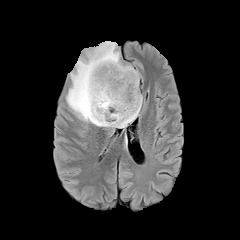
FLAIR MRI.
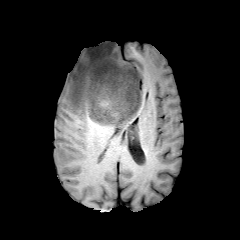
T1-weighted MR.
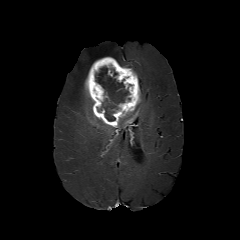
Post-contrast T1-weighted MRI.
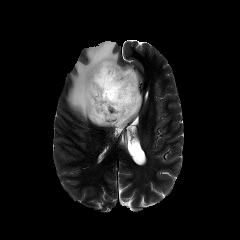
Same slice, T2-weighted magnetic resonance.
Head
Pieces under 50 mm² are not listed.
<segmentation>
  <enhancing_tumor>[x1=85, y1=57, x2=140, y2=127]</enhancing_tumor>
  <peritumoral_edema>[x1=132, y1=94, x2=142, y2=121], [x1=66, y1=41, x2=139, y2=128], [x1=118, y1=115, x2=132, y2=128]</peritumoral_edema>
  <necrotic_tumor_core>[x1=95, y1=67, x2=129, y2=121]</necrotic_tumor_core>
</segmentation>